FLAIR magnetic resonance.
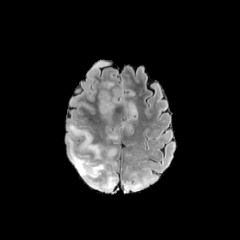
T1-weighted MR.
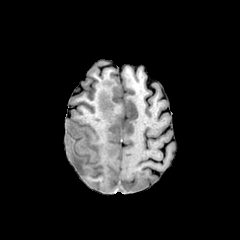
Post-contrast T1-weighted MR.
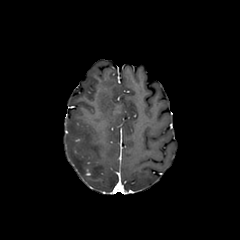
T2-weighted magnetic resonance.
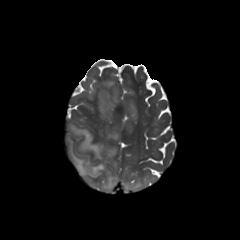
Head
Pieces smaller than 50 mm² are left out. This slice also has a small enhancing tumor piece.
The 6 largest peritumoral edema regions appear at <box>128,106,135,118</box>, <box>66,122,117,191</box>, <box>108,132,118,139</box>, <box>124,177,153,191</box>, <box>106,148,116,158</box>, <box>100,94,113,116</box>.